FLAIR MR.
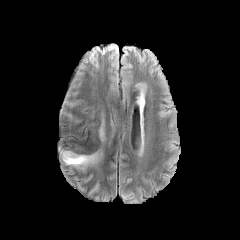
T1-weighted MRI.
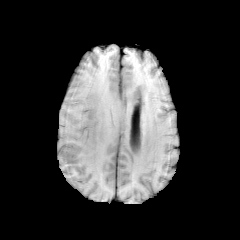
Post-contrast T1-weighted MR image.
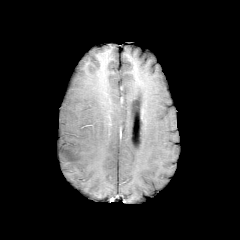
T2-weighted magnetic resonance.
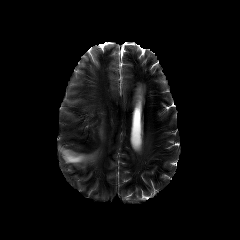
Brain.
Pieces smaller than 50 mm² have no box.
peritumoral_edema:
  - bbox=[58, 147, 98, 168]